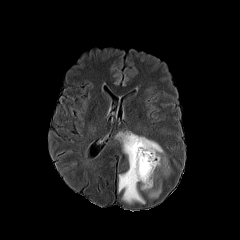
FLAIR MR image.
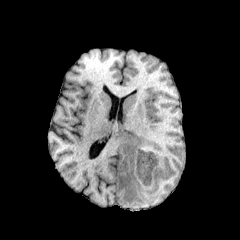
T1-weighted MRI of the same slice.
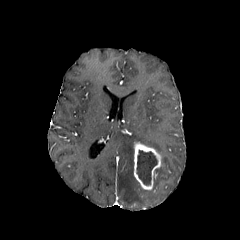
Post-contrast T1-weighted MR image of the same slice.
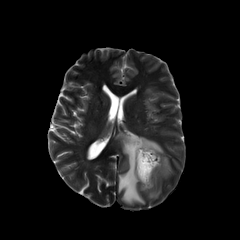
T2-weighted magnetic resonance.
Axial slice
<segmentation>
  <enhancing_tumor>[x1=133, y1=142, x2=162, y2=190]</enhancing_tumor>
  <peritumoral_edema>[x1=116, y1=132, x2=163, y2=204], [x1=154, y1=168, x2=160, y2=184], [x1=162, y1=156, x2=168, y2=174], [x1=148, y1=186, x2=161, y2=198]</peritumoral_edema>
  <necrotic_tumor_core>[x1=137, y1=150, x2=157, y2=184]</necrotic_tumor_core>
</segmentation>